Brain | Image width 240 mm, 1.00 mm slice spacing | Axial slice
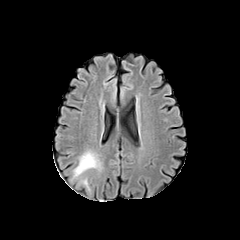
FLAIR MRI.
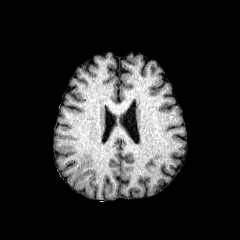
T1-weighted magnetic resonance of the same slice.
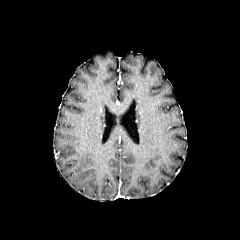
Post-contrast T1-weighted MR of the same slice.
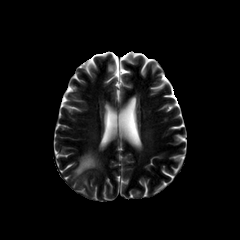
T2-weighted magnetic resonance.
The peritumoral edema lies within 74, 152, 98, 176.